Axial plane, Slice 105 of 155
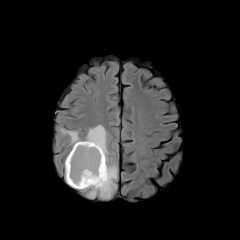
FLAIR MR image.
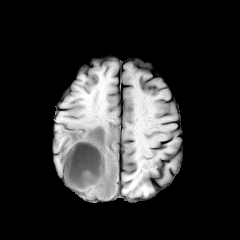
T1-weighted MR image.
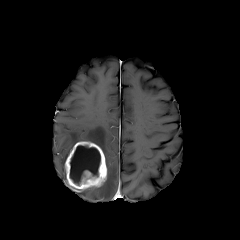
Post-contrast T1-weighted magnetic resonance of the same slice.
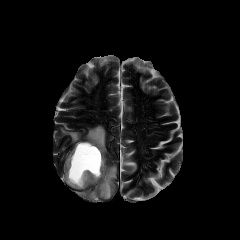
Same slice, T2-weighted MR image.
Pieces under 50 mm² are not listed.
peritumoral edema at box(60, 125, 117, 198)
enhancing tumor at box(65, 141, 106, 189)
necrotic tumor core at box(70, 145, 100, 184)